FLAIR MRI.
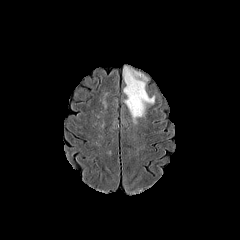
T1-weighted MRI.
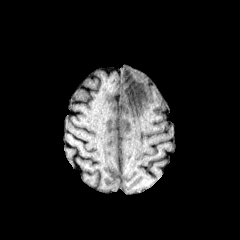
Post-contrast T1-weighted magnetic resonance.
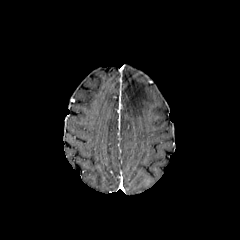
T2-weighted magnetic resonance.
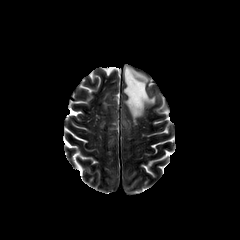
Head
<segmentation>
  <peritumoral_edema>box=[123, 65, 154, 124]</peritumoral_edema>
</segmentation>